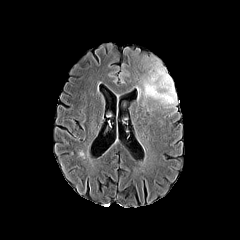
FLAIR magnetic resonance.
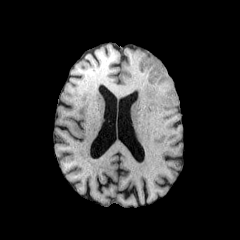
T1-weighted MRI.
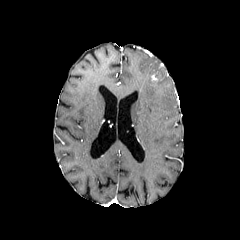
Post-contrast T1-weighted MR.
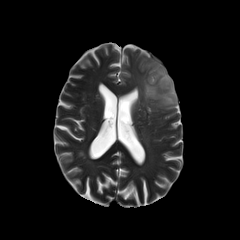
Same slice, T2-weighted MRI.
Brain.
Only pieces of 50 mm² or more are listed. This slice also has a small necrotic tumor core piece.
enhancing tumor = left=150, top=72, right=161, bottom=83
peritumoral edema = left=141, top=56, right=177, bottom=108